Slice 121/155. Head. Image width 240 mm. Axial view.
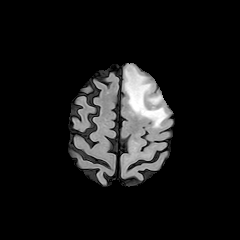
FLAIR MR.
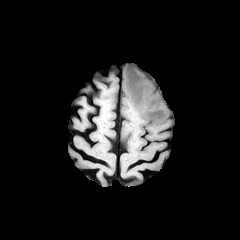
T1-weighted MR image.
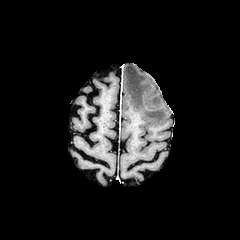
Post-contrast T1-weighted magnetic resonance of the same slice.
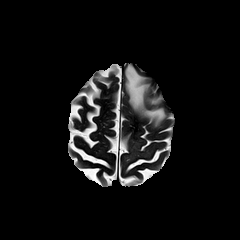
T2-weighted magnetic resonance of the same slice.
2 peritumoral edema regions appear at box=[124, 65, 166, 127]; box=[147, 96, 161, 104].